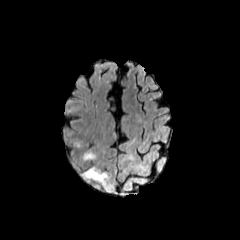
FLAIR MRI.
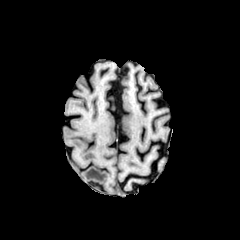
T1-weighted MR image.
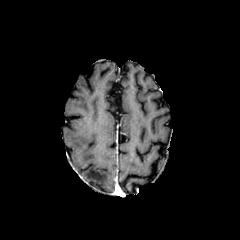
Same slice, post-contrast T1-weighted MRI.
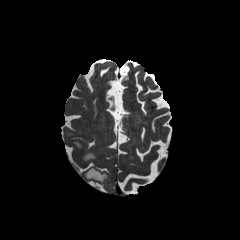
Same slice, T2-weighted MR image.
Image size 240x240
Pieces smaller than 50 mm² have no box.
peritumoral edema — rect(84, 167, 107, 182); rect(84, 152, 95, 159)